FLAIR MR.
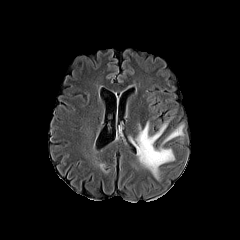
T1-weighted MR.
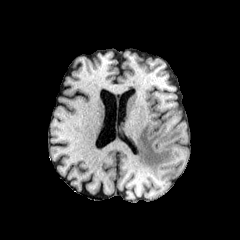
Post-contrast T1-weighted MR.
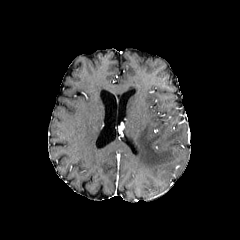
T2-weighted magnetic resonance.
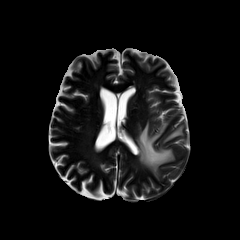
Brain, Axial view, Image size 240x240
peritumoral edema: 127 120 185 181